FLAIR MRI.
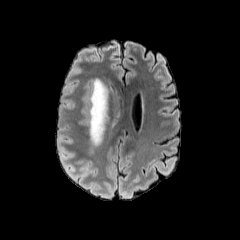
T1-weighted MRI.
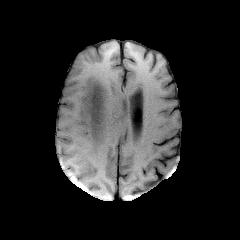
Post-contrast T1-weighted MRI.
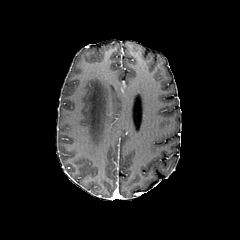
T2-weighted MR image.
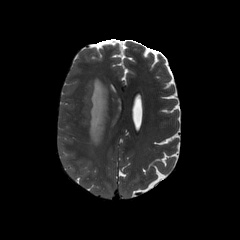
Head. Axial view.
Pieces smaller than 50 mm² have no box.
The largest peritumoral edema region appears at {"x1": 87, "y1": 78, "x2": 108, "y2": 145}.